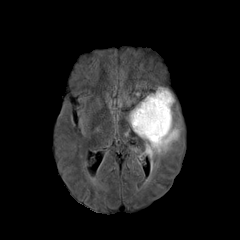
FLAIR MRI.
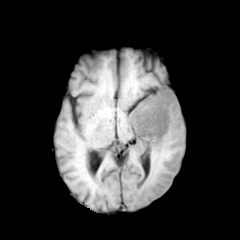
T1-weighted MR of the same slice.
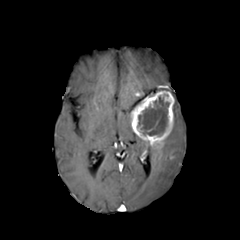
Post-contrast T1-weighted magnetic resonance.
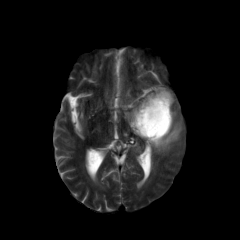
Same slice, T2-weighted magnetic resonance.
240x240 px | Brain
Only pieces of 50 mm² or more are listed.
The largest enhancing tumor region is bounded by left=131, top=90, right=174, bottom=146. The largest necrotic tumor core region lies within left=137, top=96, right=169, bottom=136. The largest peritumoral edema region lies within left=145, top=121, right=181, bottom=170.